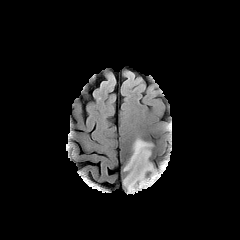
FLAIR magnetic resonance.
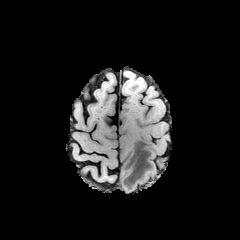
T1-weighted MR.
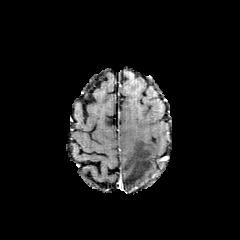
Post-contrast T1-weighted MR.
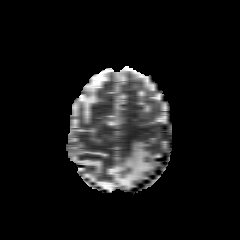
Same slice, T2-weighted MR image.
Brain.
peritumoral edema: bounding box l=123, t=139, r=157, b=191